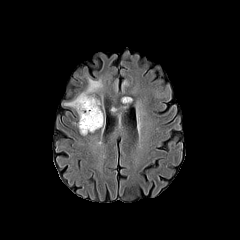
FLAIR MR image.
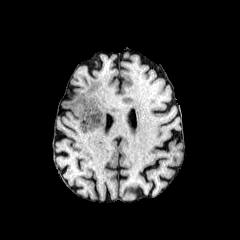
T1-weighted MR.
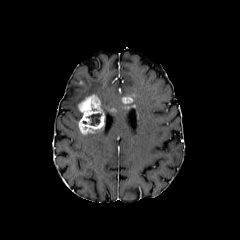
Same slice, post-contrast T1-weighted MR.
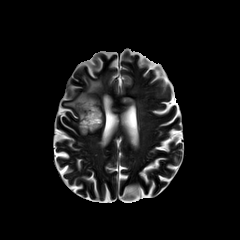
T2-weighted MR of the same slice.
Head | Axial slice
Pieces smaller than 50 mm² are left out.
The largest necrotic tumor core region appears at (88,113,101,125). The largest enhancing tumor region lies within (78,94,104,134). The peritumoral edema is located at (64,78,102,120).